FLAIR MR.
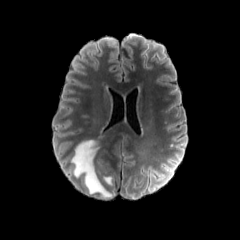
T1-weighted MR image.
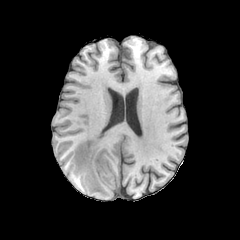
Post-contrast T1-weighted MR.
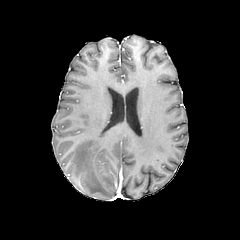
T2-weighted MR.
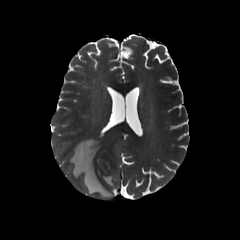
Brain; Axial plane; 240x240 px
2 peritumoral edema regions are bounded by [x1=71, y1=140, x2=111, y2=197], [x1=103, y1=176, x2=112, y2=185].